FLAIR MR image.
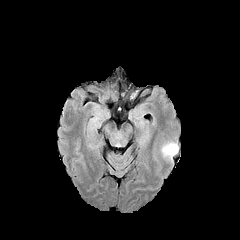
T1-weighted MR.
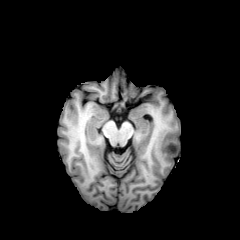
Post-contrast T1-weighted magnetic resonance.
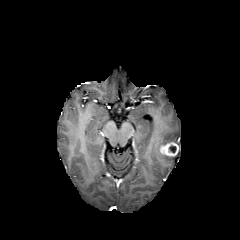
T2-weighted magnetic resonance.
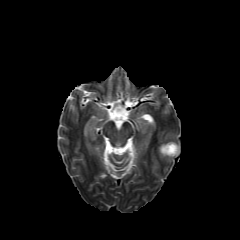
Head
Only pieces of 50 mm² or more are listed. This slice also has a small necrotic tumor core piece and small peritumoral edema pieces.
enhancing tumor: bounding box l=160, t=142, r=178, b=156